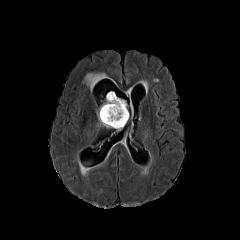
FLAIR MR image.
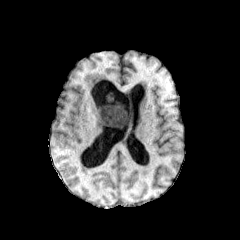
T1-weighted magnetic resonance of the same slice.
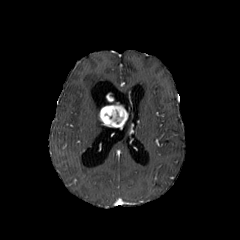
Post-contrast T1-weighted MR image.
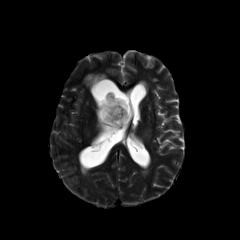
Same slice, T2-weighted MR.
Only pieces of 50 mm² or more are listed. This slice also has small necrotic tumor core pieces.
enhancing tumor — bbox(99, 93, 128, 128)
peritumoral edema — bbox(109, 92, 126, 107); bbox(83, 73, 109, 91)